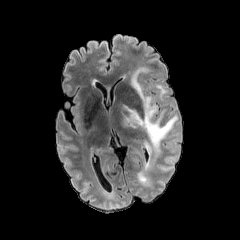
FLAIR MR image.
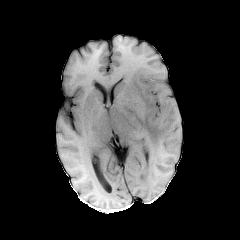
T1-weighted MR image.
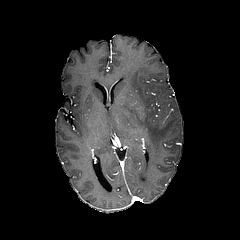
Post-contrast T1-weighted magnetic resonance.
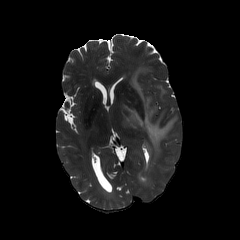
T2-weighted MR of the same slice.
Brain, Axial view
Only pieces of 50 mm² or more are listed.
Segmented structures:
- peritumoral edema: [124, 67, 177, 158], [156, 85, 166, 97]